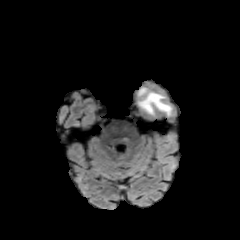
FLAIR MR image.
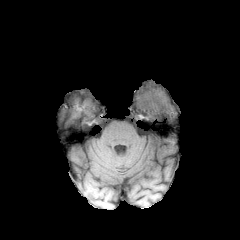
T1-weighted MRI.
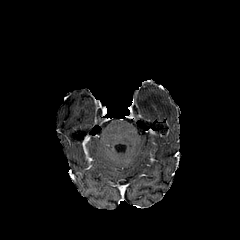
Post-contrast T1-weighted MR.
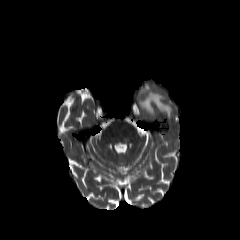
T2-weighted MR image of the same slice.
Image size 240x240; Brain
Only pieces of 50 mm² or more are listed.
peritumoral edema at region(137, 87, 172, 117)